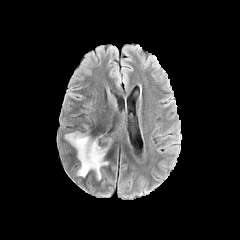
FLAIR MRI.
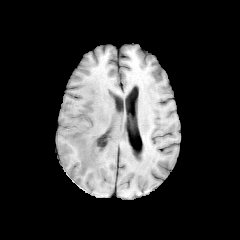
Same slice, T1-weighted MR.
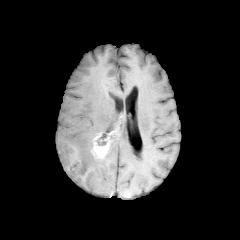
Post-contrast T1-weighted MR image.
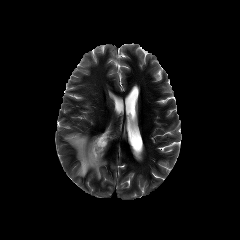
T2-weighted MRI of the same slice.
Axial slice; Brain
peritumoral_edema:
  - 65 123 109 181
enhancing_tumor:
  - 91 131 113 157